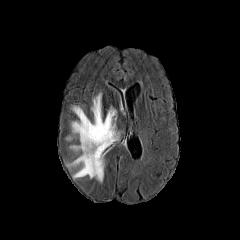
FLAIR MR.
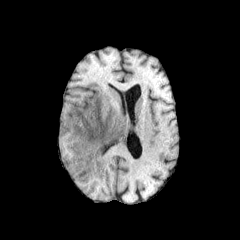
T1-weighted MRI.
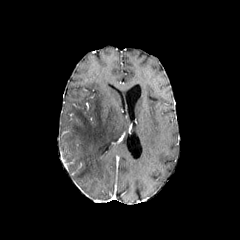
Post-contrast T1-weighted MR.
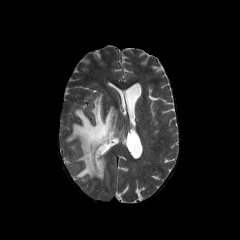
T2-weighted magnetic resonance.
Head. Axial plane.
peritumoral edema: bounding box bbox=[68, 93, 121, 181]